FLAIR MR image.
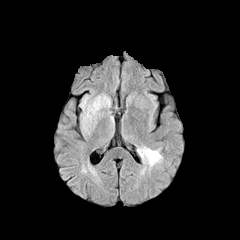
T1-weighted magnetic resonance.
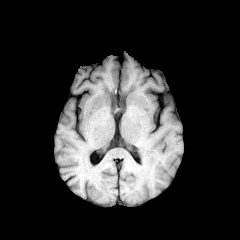
Post-contrast T1-weighted MRI.
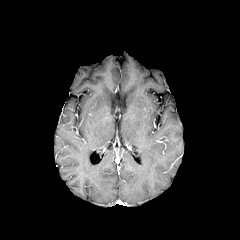
T2-weighted MR image.
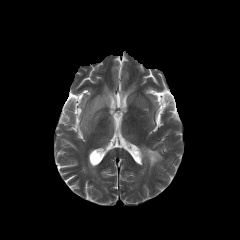
240x240 px | Brain | Axial plane
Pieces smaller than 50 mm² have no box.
Annotated regions:
- peritumoral edema: (137,147,162,167), (80,94,109,138)